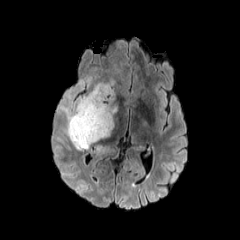
FLAIR MR image.
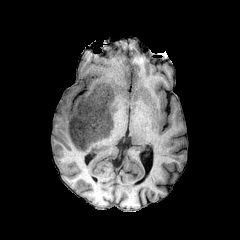
T1-weighted MR image.
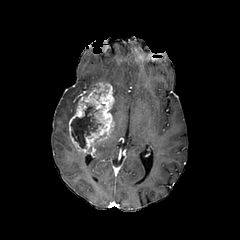
Post-contrast T1-weighted MR image.
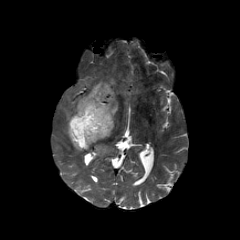
T2-weighted MR image.
Axial slice
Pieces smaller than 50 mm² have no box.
Segmented structures:
• necrotic tumor core: <box>71,106,100,148</box>
• enhancing tumor: <box>68,82,114,151</box>
• peritumoral edema: <box>54,79,93,136</box>, <box>111,103,117,118</box>